Head; Image size 240x240
FLAIR MR image.
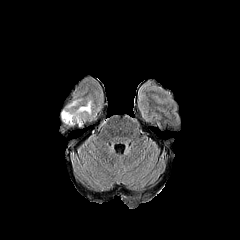
T1-weighted MR image.
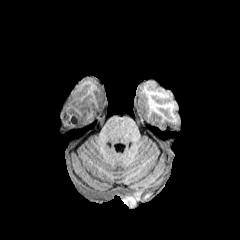
Post-contrast T1-weighted MR.
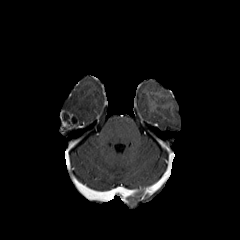
T2-weighted MRI.
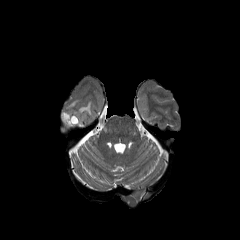
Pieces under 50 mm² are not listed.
enhancing tumor — 60 112 71 130
peritumoral edema — 64 100 96 125
necrotic tumor core — 62 112 77 126